FLAIR MRI.
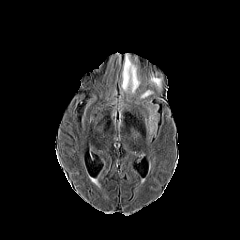
T1-weighted magnetic resonance.
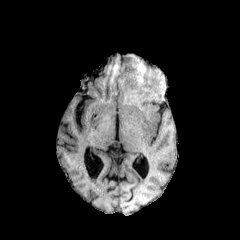
Post-contrast T1-weighted MR.
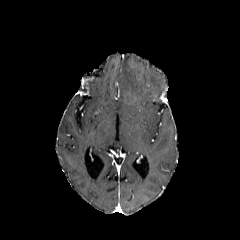
T2-weighted MR.
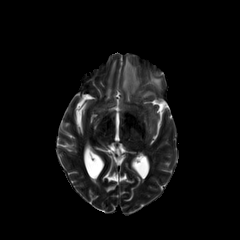
Brain; Axial slice
Findings:
* peritumoral edema: box(141, 90, 151, 98); box(150, 75, 161, 89); box(122, 54, 140, 93)